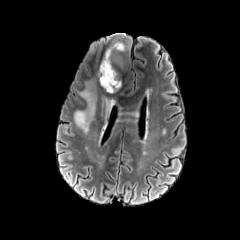
FLAIR MRI.
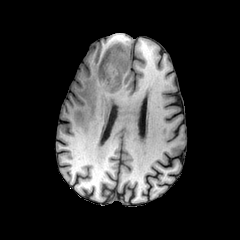
T1-weighted MR image.
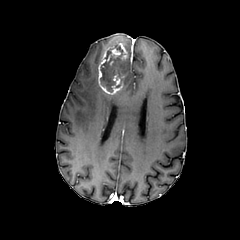
Post-contrast T1-weighted MRI of the same slice.
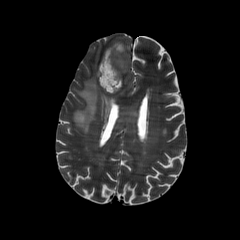
T2-weighted MR image.
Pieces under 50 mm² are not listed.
necrotic tumor core: l=100, t=57, r=116, b=91 | enhancing tumor: l=98, t=43, r=127, b=94 | peritumoral edema: l=74, t=81, r=97, b=134; l=115, t=61, r=125, b=76; l=101, t=93, r=115, b=125